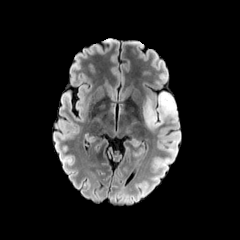
FLAIR MR.
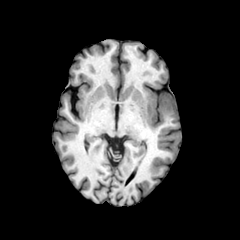
T1-weighted MRI.
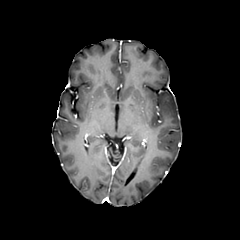
Post-contrast T1-weighted MR image.
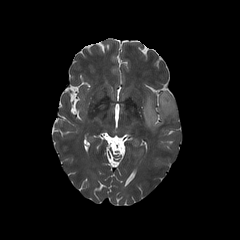
T2-weighted magnetic resonance.
240x240, Axial slice, Head
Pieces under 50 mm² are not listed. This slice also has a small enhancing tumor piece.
peritumoral_edema:
  - 142:91:177:128
  - 125:125:132:137